Brain | Slice 50 of 155
FLAIR MRI.
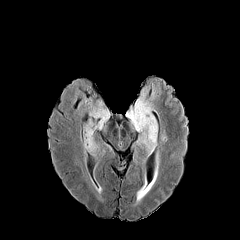
T1-weighted MR image.
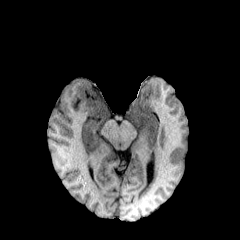
Post-contrast T1-weighted MR.
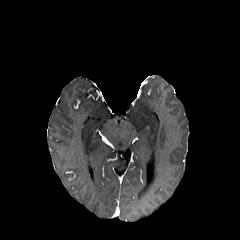
T2-weighted MR image.
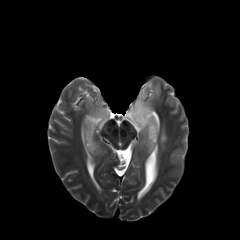
{"peritumoral_edema": ["126,89,157,154", "82,109,109,154", "160,129,168,142"]}